FLAIR MR.
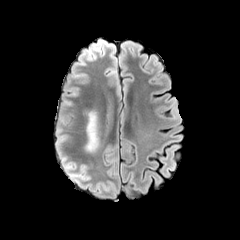
T1-weighted MR image.
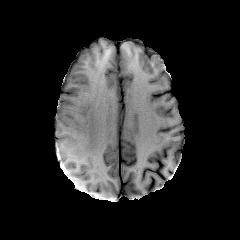
Post-contrast T1-weighted magnetic resonance.
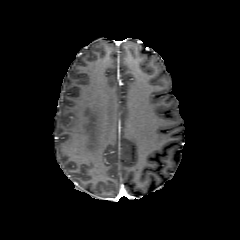
T2-weighted magnetic resonance.
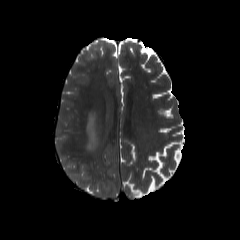
{
  "peritumoral_edema": [
    "rect(85, 111, 98, 151)"
  ]
}